240x240 px. Image width 240 mm, 1.00 mm slice spacing.
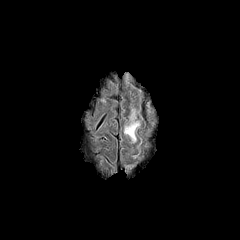
FLAIR MRI.
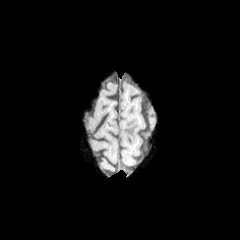
T1-weighted magnetic resonance.
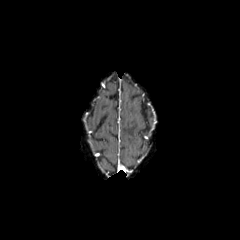
Post-contrast T1-weighted MR.
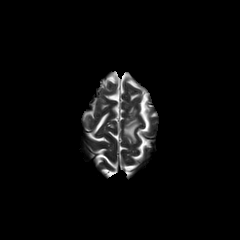
Same slice, T2-weighted MR image.
peritumoral_edema:
  - x1=124 y1=112 x2=139 y2=142